Slice 122 of 155 | Image covers 240 mm x 240 mm | Image size 240x240 | Head | Axial slice
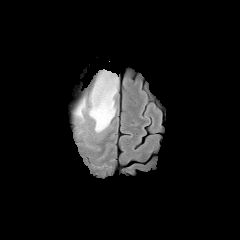
FLAIR MRI.
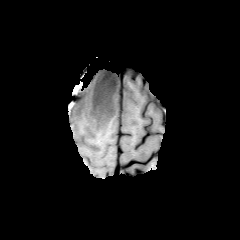
T1-weighted MR image.
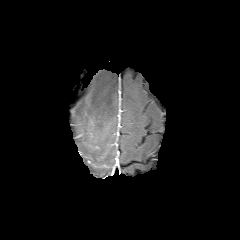
Post-contrast T1-weighted MR of the same slice.
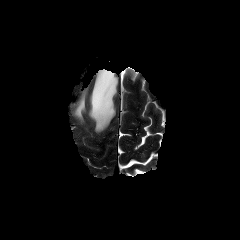
Same slice, T2-weighted MR image.
Segmented structures:
* peritumoral edema: (left=89, top=71, right=118, bottom=132), (left=75, top=98, right=85, bottom=122)